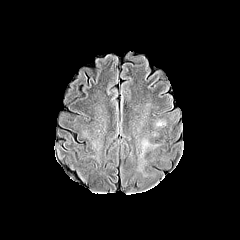
FLAIR MR image.
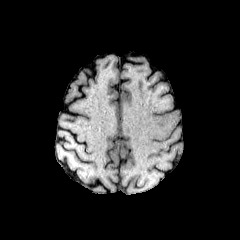
Same slice, T1-weighted magnetic resonance.
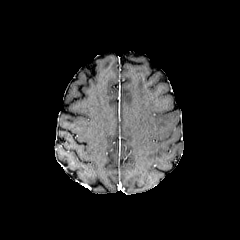
Post-contrast T1-weighted MR of the same slice.
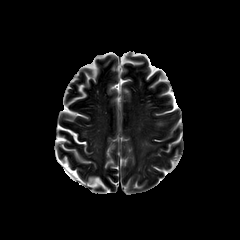
T2-weighted magnetic resonance of the same slice.
Axial view | Brain
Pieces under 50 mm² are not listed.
- peritumoral edema: <bbox>141, 137, 152, 155</bbox>, <bbox>154, 119, 166, 127</bbox>